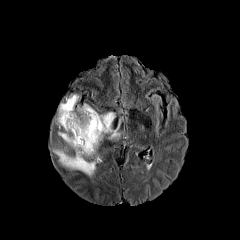
FLAIR MRI.
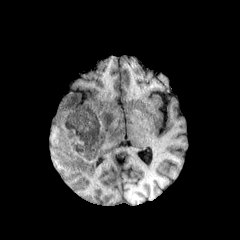
Same slice, T1-weighted MR image.
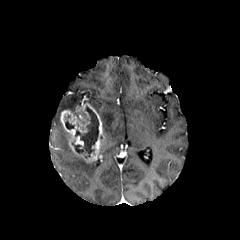
Post-contrast T1-weighted MRI.
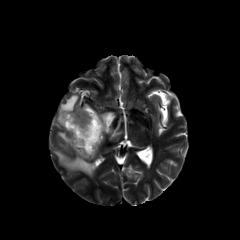
T2-weighted MRI.
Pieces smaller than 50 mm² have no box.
{
  "necrotic_tumor_core": [
    "[65,120,74,129]",
    "[71,106,98,158]"
  ],
  "peritumoral_edema": [
    "[56,94,79,127]",
    "[54,150,98,176]",
    "[100,112,120,139]",
    "[58,131,68,143]"
  ],
  "enhancing_tumor": [
    "[60,103,103,162]"
  ]
}